FLAIR MR image.
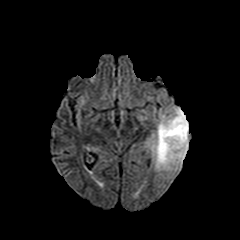
T1-weighted MR image.
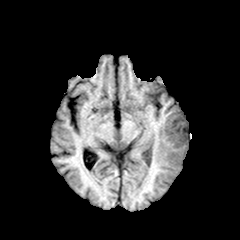
Post-contrast T1-weighted MR.
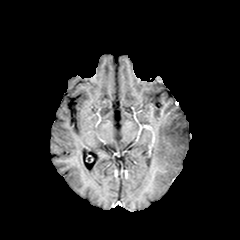
T2-weighted MR.
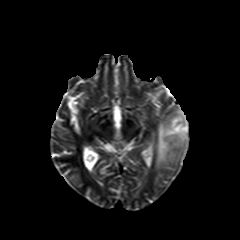
- peritumoral edema: (152, 107, 188, 169)